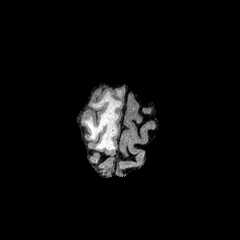
FLAIR MR.
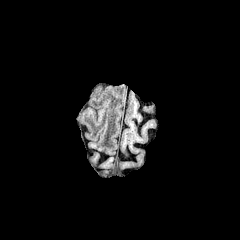
T1-weighted MR image.
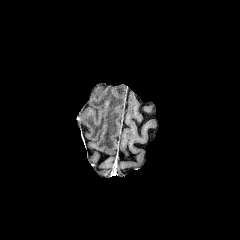
Post-contrast T1-weighted MR.
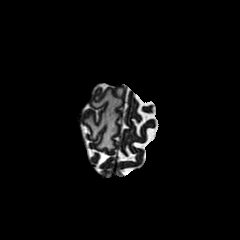
Same slice, T2-weighted magnetic resonance.
Axial view. 240x240 px.
peritumoral edema: bounding box x1=83, y1=89, x2=122, y2=150